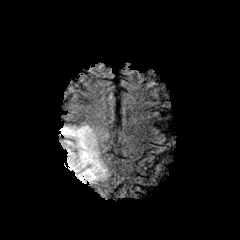
FLAIR MR image.
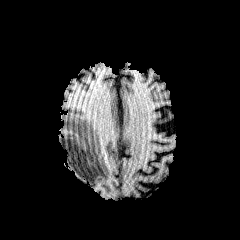
T1-weighted MRI of the same slice.
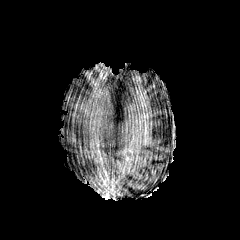
Same slice, post-contrast T1-weighted magnetic resonance.
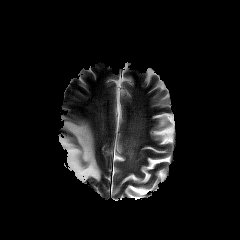
T2-weighted MR.
Axial slice.
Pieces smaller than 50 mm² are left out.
<segmentation>
  <peritumoral_edema>(left=59, top=121, right=110, bottom=184)</peritumoral_edema>
</segmentation>